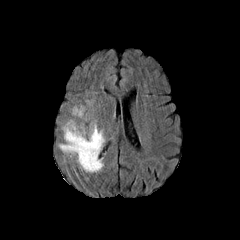
FLAIR MR.
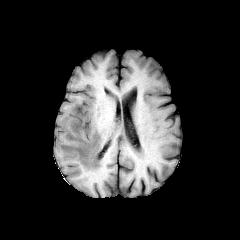
Same slice, T1-weighted MR.
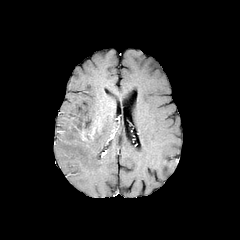
Post-contrast T1-weighted MRI.
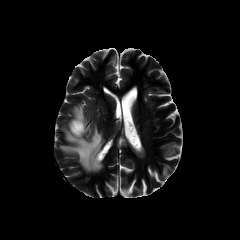
T2-weighted MRI.
240x240 | Axial view
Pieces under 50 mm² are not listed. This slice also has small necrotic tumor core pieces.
The peritumoral edema lies within (59,105,105,172). The largest enhancing tumor region is located at (74,125,86,139).